FLAIR MR image.
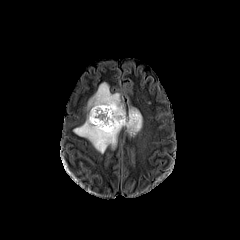
T1-weighted MR image.
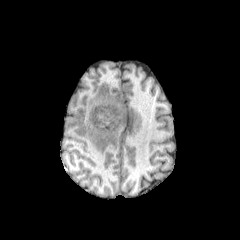
Post-contrast T1-weighted MR image.
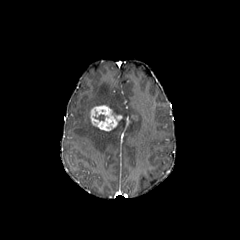
T2-weighted MR.
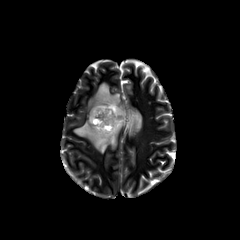
Axial view
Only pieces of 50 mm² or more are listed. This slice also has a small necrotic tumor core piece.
peritumoral edema at box=[73, 82, 142, 153]
enhancing tumor at box=[90, 105, 122, 131]